Image width 240 mm, 1.00 mm slice spacing. Axial plane. Slice 94/155.
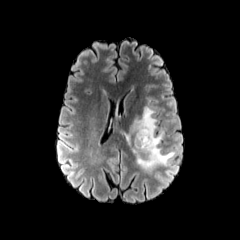
FLAIR magnetic resonance.
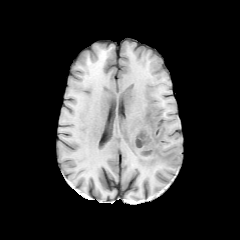
Same slice, T1-weighted magnetic resonance.
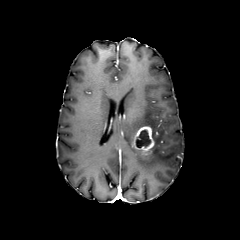
Post-contrast T1-weighted MR image.
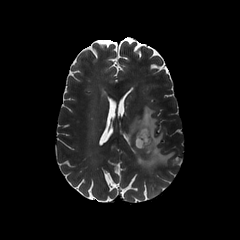
Same slice, T2-weighted MRI.
<segmentation>
  <necrotic_tumor_core>136:130:150:148</necrotic_tumor_core>
  <peritumoral_edema>120:106:175:174</peritumoral_edema>
  <enhancing_tumor>134:126:154:155</enhancing_tumor>
</segmentation>